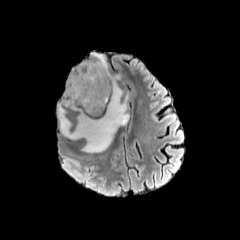
FLAIR MR image.
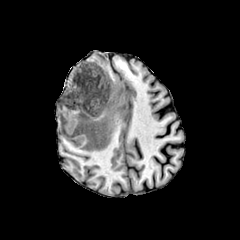
Same slice, T1-weighted MRI.
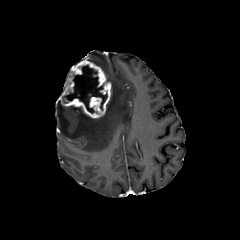
Post-contrast T1-weighted MR image of the same slice.
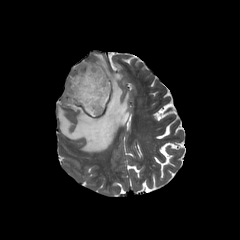
T2-weighted MRI.
Axial slice, Head
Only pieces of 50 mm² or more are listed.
Findings:
* enhancing tumor: (60, 60, 111, 118)
* peritumoral edema: (58, 53, 129, 152)
* necrotic tumor core: (63, 65, 107, 113)